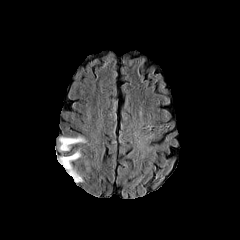
FLAIR MR image.
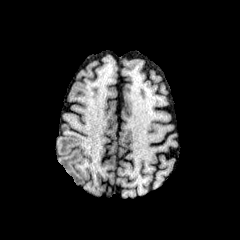
Same slice, T1-weighted MRI.
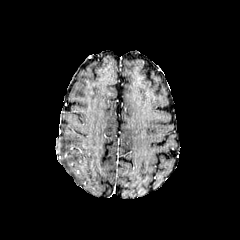
Post-contrast T1-weighted MR of the same slice.
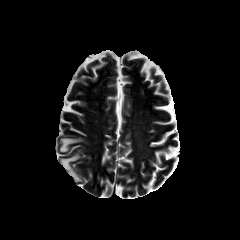
Same slice, T2-weighted magnetic resonance.
peritumoral edema: box(59, 137, 85, 151); box(59, 151, 82, 182)